Image width 240 mm, 1.00 mm slice spacing. 240x240. Slice 92 of 155.
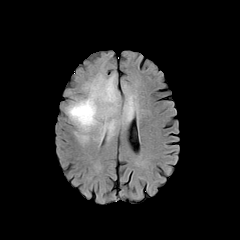
FLAIR magnetic resonance.
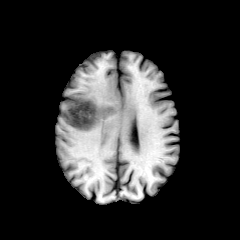
Same slice, T1-weighted magnetic resonance.
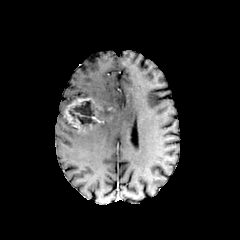
Post-contrast T1-weighted MR image.
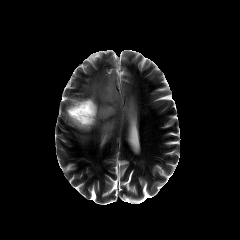
T2-weighted MR.
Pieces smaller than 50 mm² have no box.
necrotic_tumor_core:
  - bbox(69, 100, 97, 126)
peritumoral_edema:
  - bbox(73, 74, 138, 143)
enhancing_tumor:
  - bbox(65, 97, 101, 131)